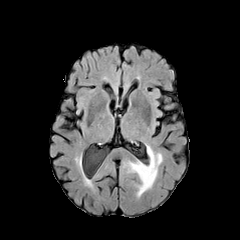
FLAIR magnetic resonance.
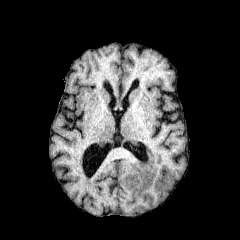
T1-weighted MRI.
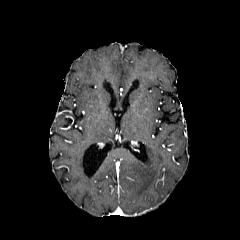
Post-contrast T1-weighted MR.
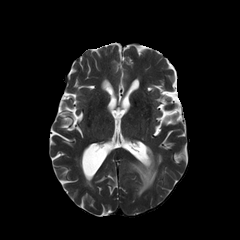
T2-weighted MR of the same slice.
240x240 px.
peritumoral edema: 129 146 162 196